Axial plane
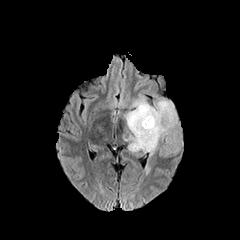
FLAIR MR image.
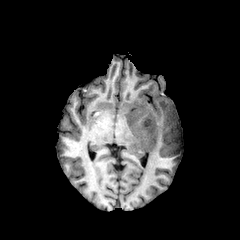
Same slice, T1-weighted magnetic resonance.
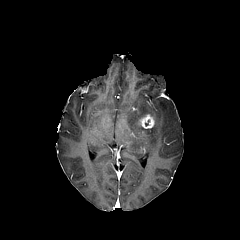
Post-contrast T1-weighted magnetic resonance.
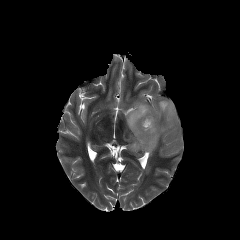
T2-weighted MR.
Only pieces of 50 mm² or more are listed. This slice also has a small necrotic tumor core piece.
enhancing tumor = bbox=[140, 114, 154, 128]
peritumoral edema = bbox=[125, 96, 177, 155]